FLAIR MR image.
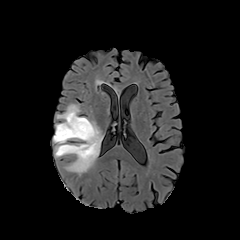
T1-weighted MRI.
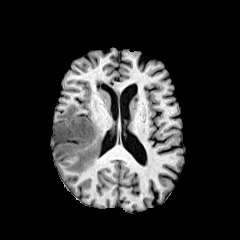
Post-contrast T1-weighted MRI.
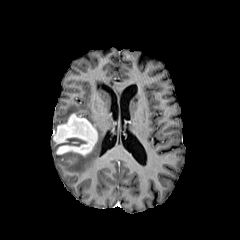
T2-weighted magnetic resonance.
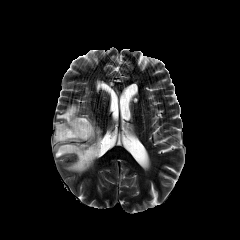
240x240
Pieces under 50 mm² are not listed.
{"enhancing_tumor": ["(53,113,97,156)"], "peritumoral_edema": ["(55,104,81,130)", "(54,118,103,173)"]}